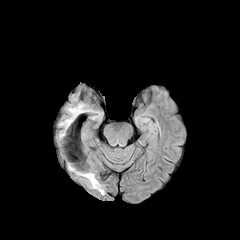
FLAIR MR.
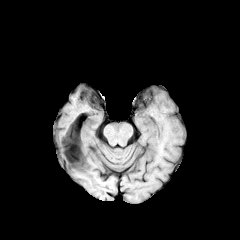
T1-weighted MR.
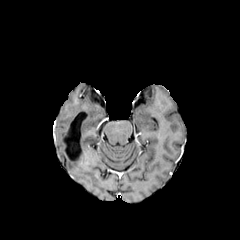
Post-contrast T1-weighted MR.
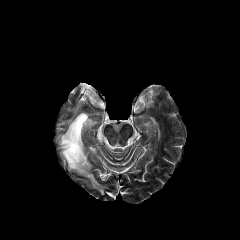
Same slice, T2-weighted MR.
Head | Image size 240x240
The peritumoral edema is bounded by x1=78, y1=172, x2=103, y2=194.